FLAIR magnetic resonance.
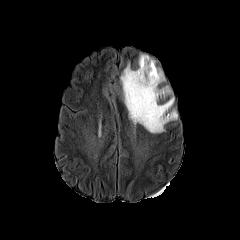
T1-weighted MR image.
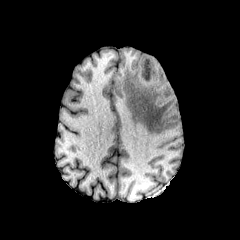
Post-contrast T1-weighted MR.
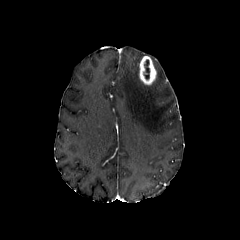
T2-weighted magnetic resonance.
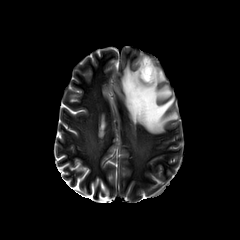
240x240 px, Head, Axial slice
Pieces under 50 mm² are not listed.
necrotic tumor core = 144, 60, 149, 78
peritumoral edema = 121, 60, 177, 133
enhancing tumor = 139, 55, 156, 84